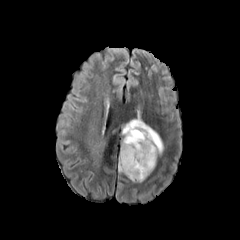
FLAIR MR image.
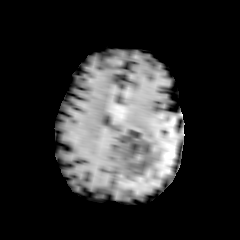
T1-weighted magnetic resonance.
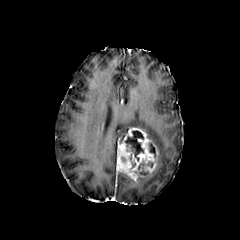
Post-contrast T1-weighted MR image of the same slice.
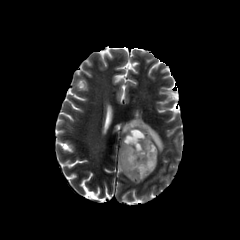
T2-weighted magnetic resonance of the same slice.
Head; Axial slice; 240x240 px
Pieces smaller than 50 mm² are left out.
The largest peritumoral edema region is at x1=121, y1=114, x2=164, y2=155. The 2 largest necrotic tumor core regions appear at x1=149, y1=143, x2=155, y2=156; x1=125, y1=130, x2=143, y2=160. The enhancing tumor appears at x1=116, y1=127, x2=158, y2=181.